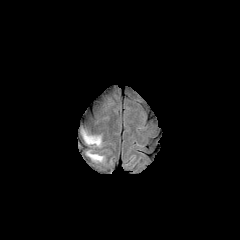
FLAIR magnetic resonance.
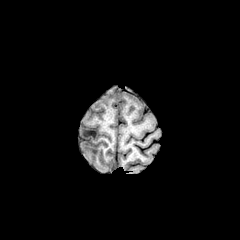
T1-weighted MRI of the same slice.
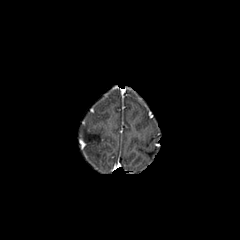
Post-contrast T1-weighted MR image of the same slice.
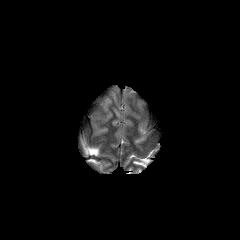
T2-weighted MR.
240x240 px; Brain
peritumoral edema: bounding box <bbox>87, 150, 102, 160</bbox>, <bbox>83, 133, 100, 145</bbox>